FLAIR magnetic resonance.
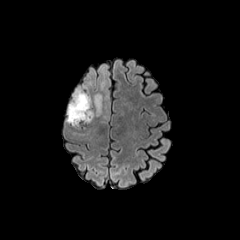
T1-weighted MR image.
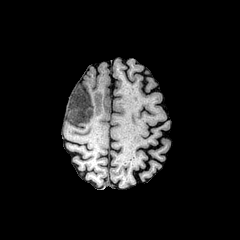
Post-contrast T1-weighted magnetic resonance.
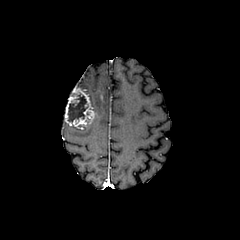
T2-weighted MRI.
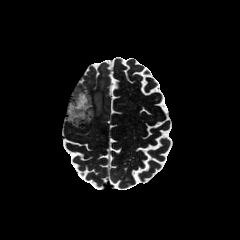
Image size 240x240
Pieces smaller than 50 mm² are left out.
The enhancing tumor lies within [65, 88, 95, 126]. The largest peritumoral edema region is at [94, 67, 107, 115]. The largest necrotic tumor core region is bounded by [68, 94, 87, 122].